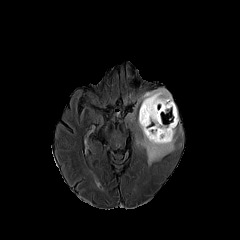
FLAIR MRI.
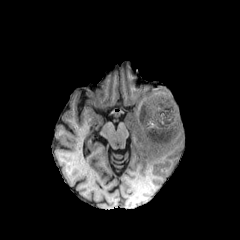
T1-weighted MRI.
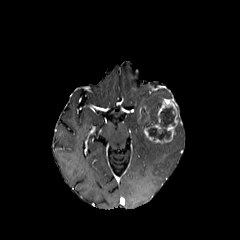
Post-contrast T1-weighted magnetic resonance.
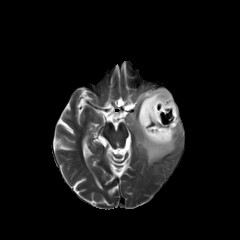
T2-weighted MRI.
Axial plane, 240x240
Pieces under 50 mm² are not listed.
* necrotic tumor core: box=[141, 108, 147, 118]; box=[160, 107, 175, 126]; box=[148, 127, 170, 139]
* peritumoral edema: box=[136, 88, 176, 165]
* enhancing tumor: box=[139, 106, 150, 120]; box=[143, 98, 178, 143]